Axial view, 240x240, Slice 69/155, Brain
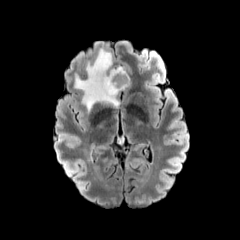
FLAIR MRI.
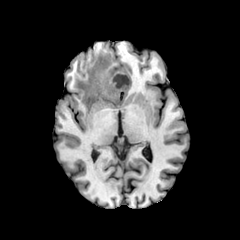
T1-weighted MR.
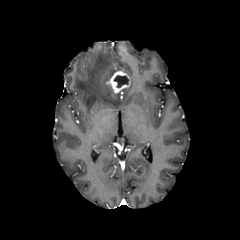
Same slice, post-contrast T1-weighted MR image.
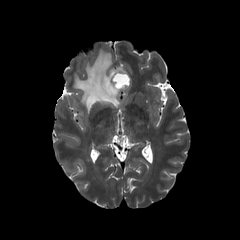
Same slice, T2-weighted magnetic resonance.
<segmentation>
  <enhancing_tumor>left=106, top=70, right=130, bottom=93</enhancing_tumor>
  <peritumoral_edema>left=74, top=49, right=126, bottom=111</peritumoral_edema>
  <necrotic_tumor_core>left=114, top=75, right=128, bottom=87</necrotic_tumor_core>
</segmentation>